FLAIR magnetic resonance.
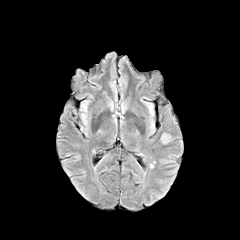
T1-weighted MR.
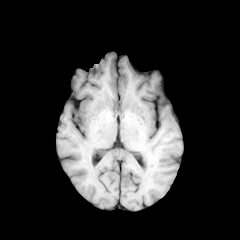
Post-contrast T1-weighted MR image.
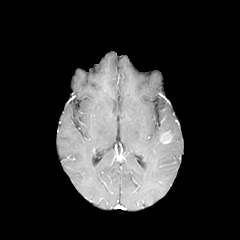
T2-weighted MRI.
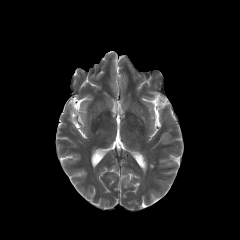
Brain, 240x240
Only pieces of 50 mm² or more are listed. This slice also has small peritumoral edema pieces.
The enhancing tumor appears at 160, 132, 171, 143.